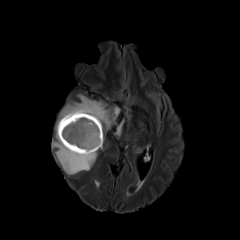
FLAIR magnetic resonance.
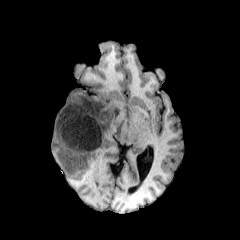
T1-weighted magnetic resonance.
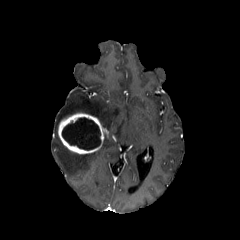
Post-contrast T1-weighted MRI.
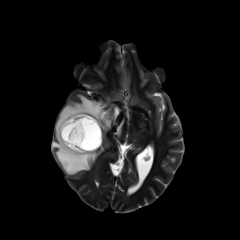
T2-weighted magnetic resonance.
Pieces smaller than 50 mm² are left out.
<segmentation>
  <enhancing_tumor>(58,112,104,154)</enhancing_tumor>
  <peritumoral_edema>(115,120,123,136), (52,94,120,174)</peritumoral_edema>
  <necrotic_tumor_core>(62,117,100,150)</necrotic_tumor_core>
</segmentation>